FLAIR MR.
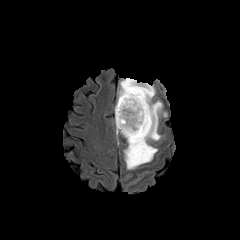
T1-weighted magnetic resonance.
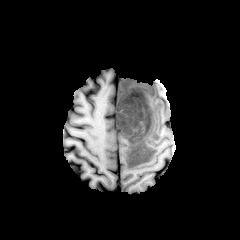
Post-contrast T1-weighted MR image.
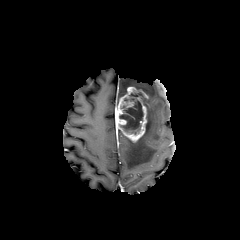
T2-weighted magnetic resonance.
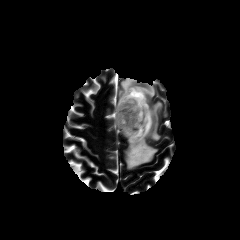
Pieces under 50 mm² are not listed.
Segmented structures:
- necrotic tumor core: left=119, top=92, right=143, bottom=134
- peritumoral edema: left=115, top=109, right=122, bottom=134; left=120, top=78, right=167, bottom=169
- enhancing tumor: left=116, top=87, right=148, bottom=142